Image width 240 mm, 1.00 mm slice spacing; Head
FLAIR magnetic resonance.
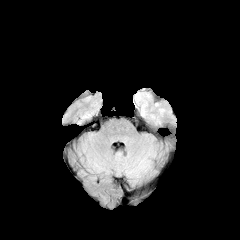
T1-weighted MR image.
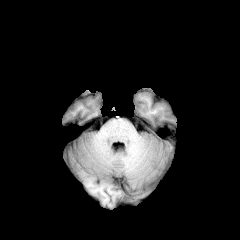
Post-contrast T1-weighted MR image.
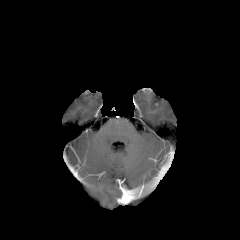
T2-weighted MRI.
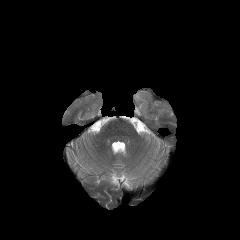
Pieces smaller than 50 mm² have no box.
Findings:
- peritumoral edema: x1=158 y1=104 x2=170 y2=115, x1=135 y1=88 x2=150 y2=115